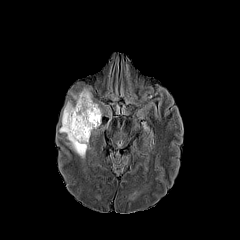
FLAIR MR.
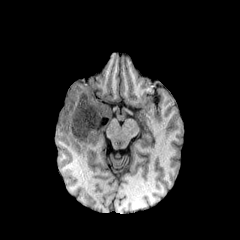
T1-weighted magnetic resonance of the same slice.
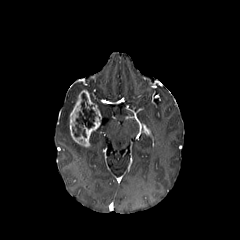
Post-contrast T1-weighted MR image.
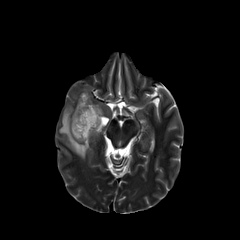
Same slice, T2-weighted MR image.
Axial slice. 240x240.
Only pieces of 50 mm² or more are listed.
necrotic_tumor_core:
  - left=72, top=93, right=96, bottom=137
enhancing_tumor:
  - left=69, top=90, right=101, bottom=146
peritumoral_edema:
  - left=59, top=101, right=87, bottom=158